FLAIR MR.
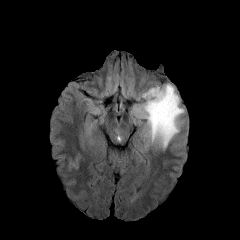
T1-weighted MR.
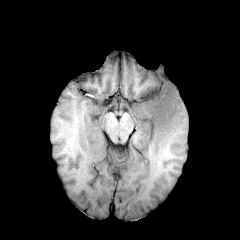
Post-contrast T1-weighted MR image.
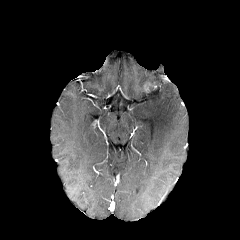
T2-weighted MR.
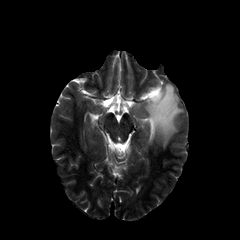
Brain
enhancing tumor: left=146, top=86, right=162, bottom=104 | peritumoral edema: left=133, top=83, right=184, bottom=148